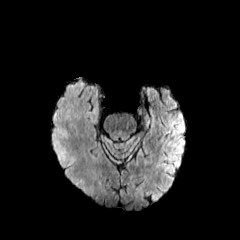
FLAIR MR.
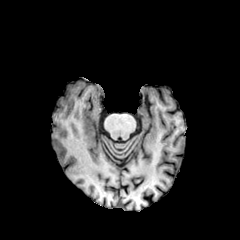
T1-weighted MRI.
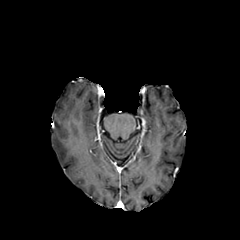
Same slice, post-contrast T1-weighted magnetic resonance.
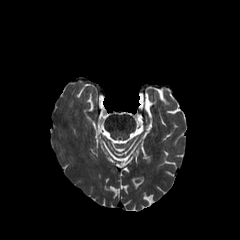
T2-weighted magnetic resonance.
Brain | 240x240
<segmentation>
  <peritumoral_edema>region(51, 138, 89, 194)</peritumoral_edema>
</segmentation>